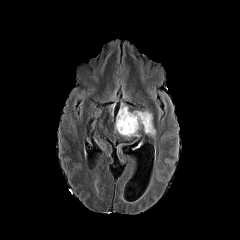
FLAIR magnetic resonance.
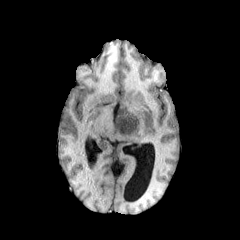
T1-weighted magnetic resonance.
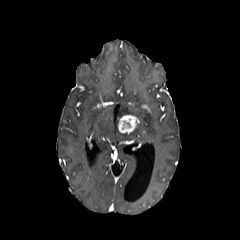
Same slice, post-contrast T1-weighted MR.
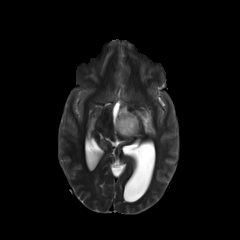
T2-weighted MR.
peritumoral edema: left=115, top=104, right=155, bottom=137
necrotic tumor core: left=122, top=120, right=130, bottom=129
enhancing tumor: left=118, top=115, right=139, bottom=134